FLAIR MR.
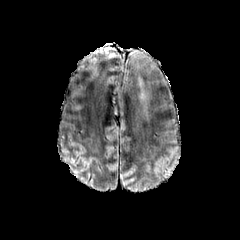
T1-weighted MR.
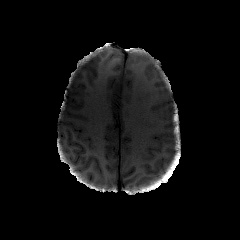
Post-contrast T1-weighted MR image.
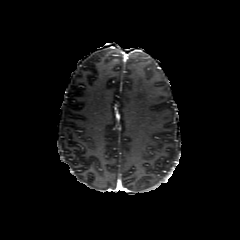
T2-weighted MR.
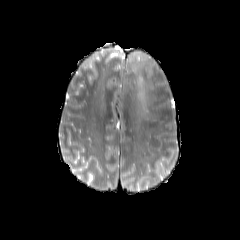
Axial view
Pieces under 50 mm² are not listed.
The largest peritumoral edema region appears at (x1=138, y1=77, x2=148, y2=102).